Image width 240 mm
FLAIR MR image.
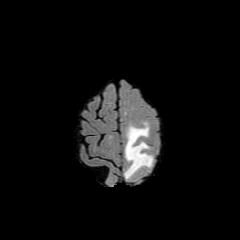
T1-weighted MR image.
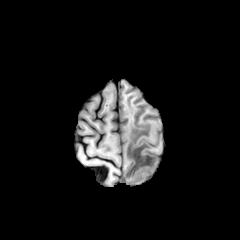
Post-contrast T1-weighted MRI.
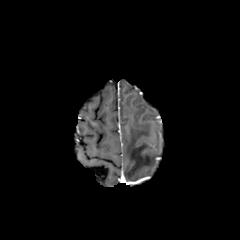
T2-weighted MRI.
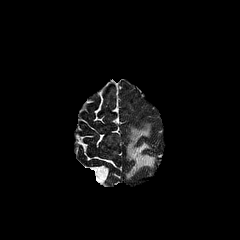
{"peritumoral_edema": ["(125, 123, 153, 177)"]}